Slice 68/155. 240x240. Head. Image covers 240 mm x 240 mm.
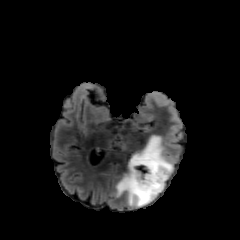
FLAIR MR.
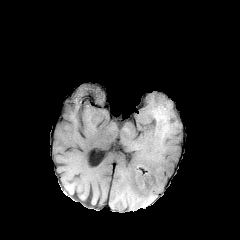
T1-weighted MR.
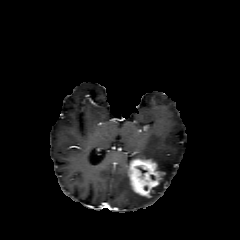
Post-contrast T1-weighted magnetic resonance of the same slice.
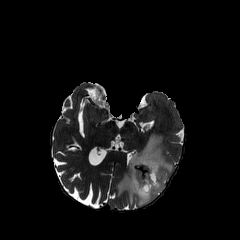
T2-weighted MRI.
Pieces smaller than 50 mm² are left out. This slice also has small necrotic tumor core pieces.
peritumoral edema: rect(116, 136, 173, 206) | enhancing tumor: rect(128, 158, 164, 197)